FLAIR MR image.
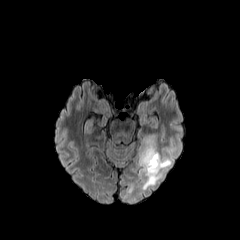
T1-weighted MR image.
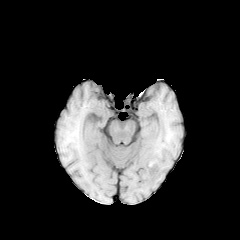
Post-contrast T1-weighted MR image.
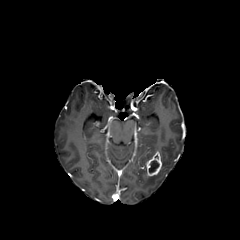
T2-weighted MR image.
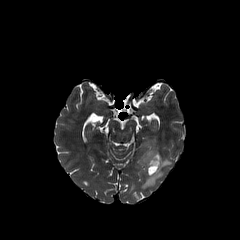
240x240; Brain; Axial view
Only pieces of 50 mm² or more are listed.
peritumoral_edema:
  - x1=137 y1=137 x2=172 y2=189
enhancing_tumor:
  - x1=142 y1=151 x2=162 y2=176
necrotic_tumor_core:
  - x1=149 y1=160 x2=158 y2=172